Slice index 102 | Axial plane
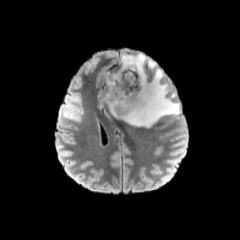
FLAIR MR image.
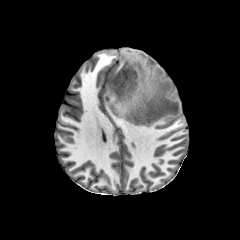
T1-weighted MR.
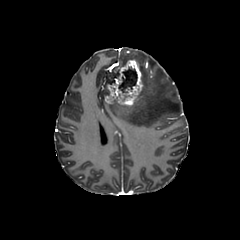
Same slice, post-contrast T1-weighted MR.
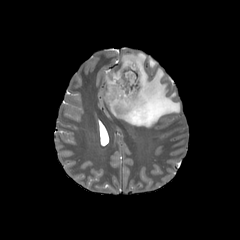
T2-weighted MR.
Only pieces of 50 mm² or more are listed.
enhancing tumor: 105 60 143 106 | peritumoral edema: 148 59 156 68, 108 53 180 127 | necrotic tumor core: 118 68 137 92